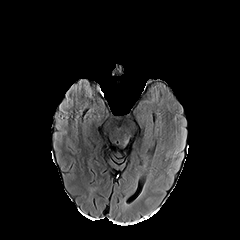
FLAIR MR image.
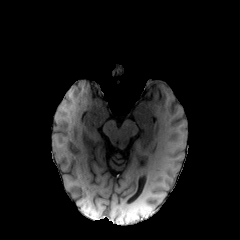
Same slice, T1-weighted magnetic resonance.
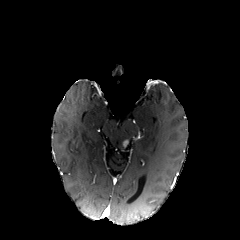
Post-contrast T1-weighted magnetic resonance.
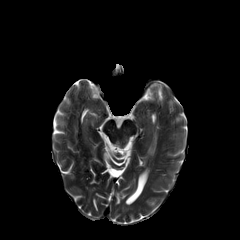
T2-weighted MR.
240x240, Axial slice, Head
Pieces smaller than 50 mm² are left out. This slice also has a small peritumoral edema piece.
enhancing tumor at {"x1": 122, "y1": 139, "x2": 129, "y2": 147}